FLAIR MRI.
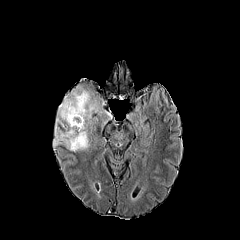
T1-weighted MR image.
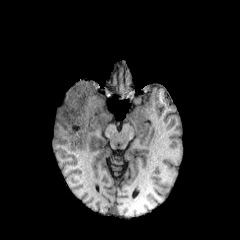
Post-contrast T1-weighted magnetic resonance.
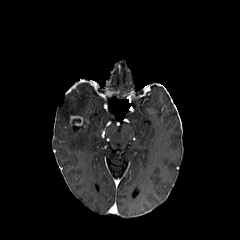
T2-weighted MR image.
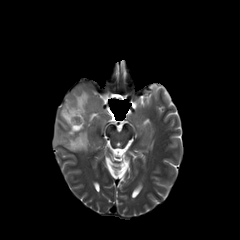
Axial slice, 240x240 px
The enhancing tumor lies within [x1=70, y1=116, x2=83, y2=125]. The necrotic tumor core is bounded by [x1=72, y1=119, x2=82, y2=129]. The peritumoral edema is bounded by [x1=53, y1=84, x2=111, y2=151].